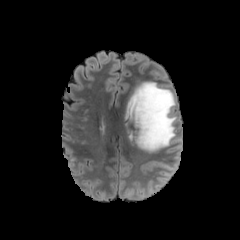
FLAIR magnetic resonance.
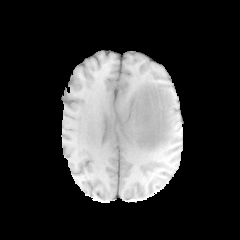
T1-weighted MR.
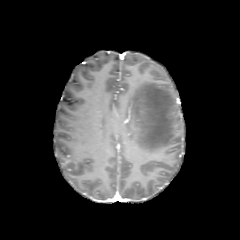
Same slice, post-contrast T1-weighted MRI.
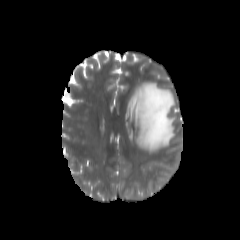
T2-weighted MR.
Axial plane, Head, Image size 240x240
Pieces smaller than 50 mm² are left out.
Annotated regions:
* peritumoral edema: x1=126 y1=82 x2=176 y2=152